Axial slice. Head.
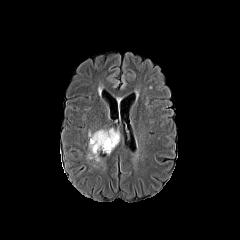
FLAIR MRI.
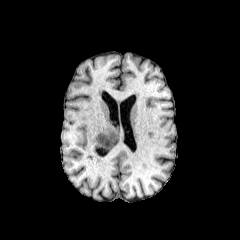
T1-weighted MR.
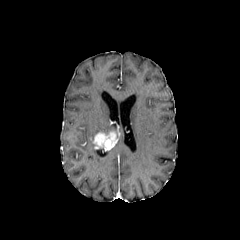
Same slice, post-contrast T1-weighted MR image.
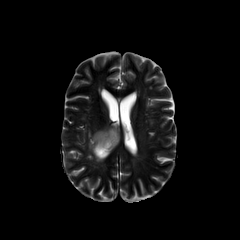
Same slice, T2-weighted MRI.
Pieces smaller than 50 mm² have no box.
peritumoral edema: (87,128,114,161)
enhancing tumor: (93,130,119,150)